Axial slice; Image size 240x240; Head
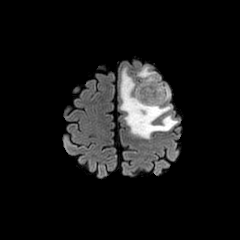
FLAIR MRI.
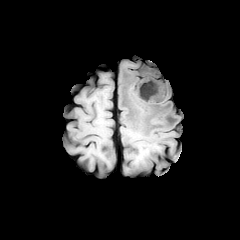
T1-weighted MR image of the same slice.
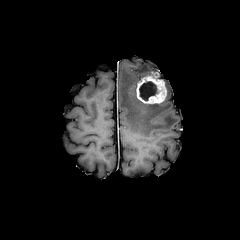
Post-contrast T1-weighted MR.
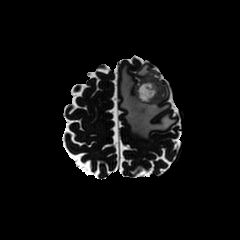
T2-weighted magnetic resonance of the same slice.
* peritumoral edema: <box>137,65,154,80</box>, <box>120,67,176,139</box>
* necrotic tumor core: <box>139,81,157,100</box>
* enhancing tumor: <box>136,72,166,103</box>